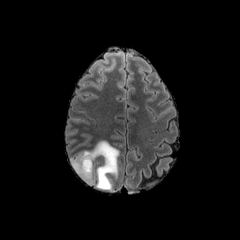
FLAIR magnetic resonance.
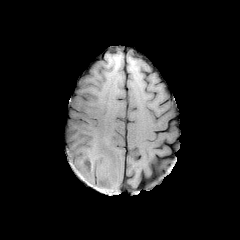
Same slice, T1-weighted MR image.
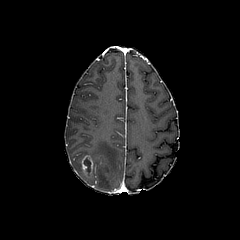
Post-contrast T1-weighted MR.
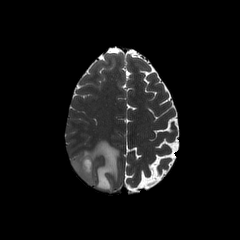
T2-weighted MR.
Head
<segmentation>
  <peritumoral_edema>70,140,119,190</peritumoral_edema>
  <necrotic_tumor_core>84,158,90,171</necrotic_tumor_core>
  <enhancing_tumor>81,155,93,175</enhancing_tumor>
</segmentation>